Slice index 130; Image covers 240 mm x 240 mm
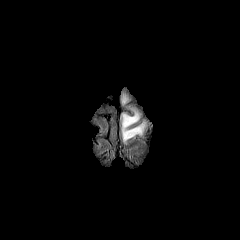
FLAIR magnetic resonance.
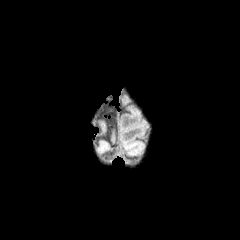
Same slice, T1-weighted MR.
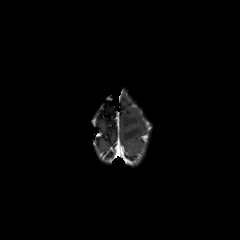
Post-contrast T1-weighted MR image.
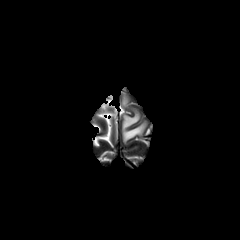
T2-weighted MR.
<segmentation>
  <peritumoral_edema>(120, 106, 147, 144), (121, 93, 131, 105)</peritumoral_edema>
</segmentation>